Image width 240 mm; Slice 103/155; Head
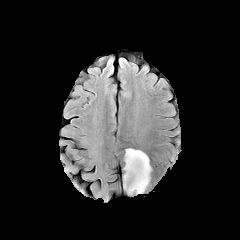
FLAIR MRI.
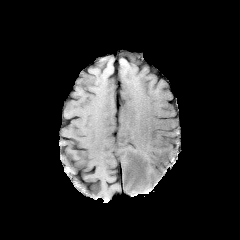
T1-weighted MR image of the same slice.
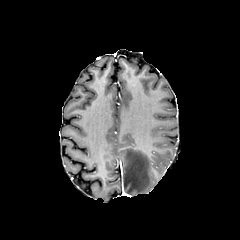
Same slice, post-contrast T1-weighted MR image.
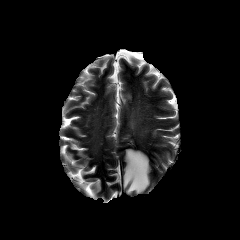
T2-weighted magnetic resonance.
The peritumoral edema lies within rect(123, 148, 151, 194).